Slice 119/155
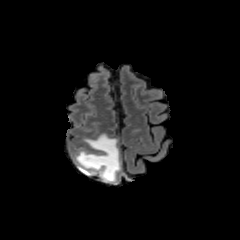
FLAIR MRI.
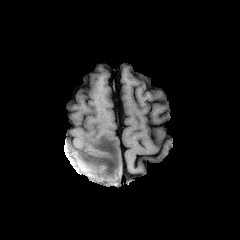
T1-weighted magnetic resonance.
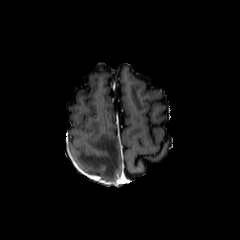
Post-contrast T1-weighted magnetic resonance.
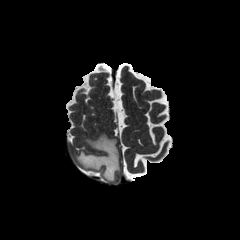
T2-weighted magnetic resonance.
peritumoral edema — bbox(75, 134, 120, 182)